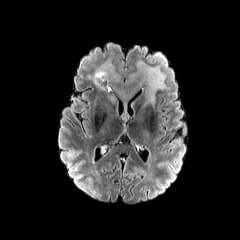
FLAIR MR image.
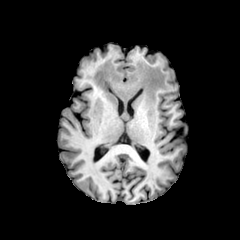
T1-weighted magnetic resonance.
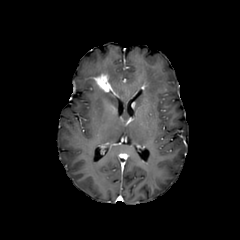
Post-contrast T1-weighted MRI.
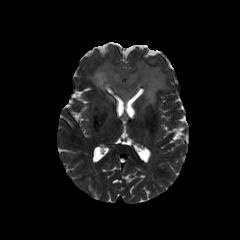
T2-weighted MRI.
Head
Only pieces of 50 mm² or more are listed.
enhancing tumor at (94, 73, 115, 94)
peritumoral edema at (89, 60, 167, 104)